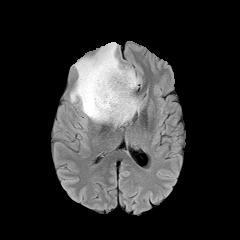
FLAIR MR image.
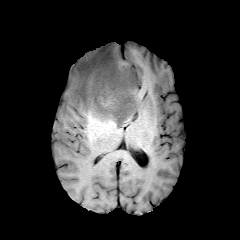
T1-weighted MR.
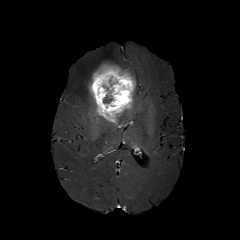
Post-contrast T1-weighted MR image of the same slice.
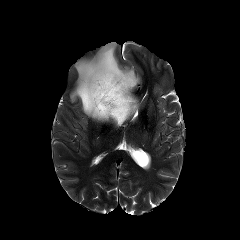
T2-weighted MR image.
Axial view
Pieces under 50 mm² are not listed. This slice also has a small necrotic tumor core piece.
2 peritumoral edema regions are bounded by bbox(70, 42, 139, 122); bbox(115, 96, 141, 125). The enhancing tumor lies within bbox(89, 62, 135, 123).